Axial slice; Brain; Slice 71 of 155
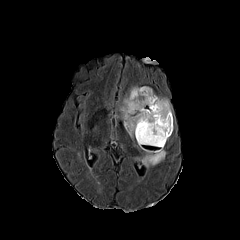
FLAIR MRI.
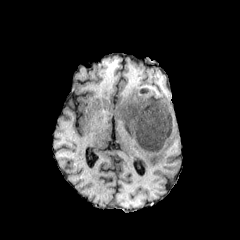
Same slice, T1-weighted MRI.
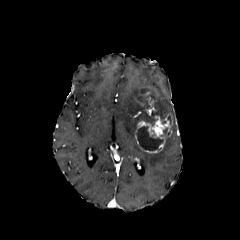
Post-contrast T1-weighted MRI.
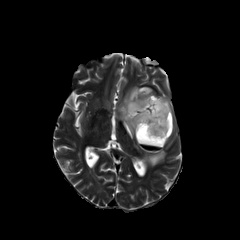
T2-weighted MR.
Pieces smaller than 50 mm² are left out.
The 2 largest peritumoral edema regions are bounded by 119 86 172 137, 142 148 165 167. The largest necrotic tumor core region is bounded by 136 126 163 150. The 2 largest enhancing tumor regions are bounded by 135 114 172 153, 145 97 156 115.